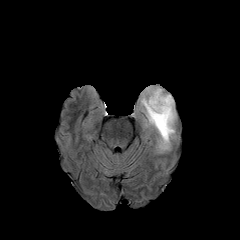
FLAIR MR image.
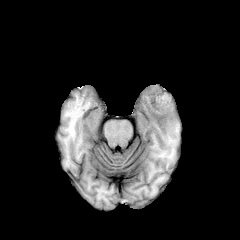
Same slice, T1-weighted magnetic resonance.
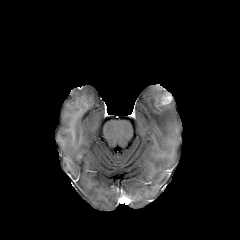
Post-contrast T1-weighted MRI.
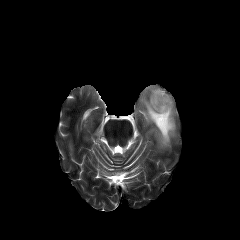
T2-weighted MR of the same slice.
Axial slice
peritumoral_edema:
  - 140,85,176,151
enhancing_tumor:
  - 160,93,172,105